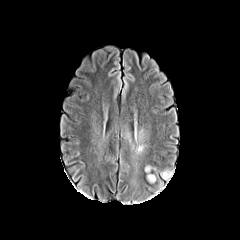
FLAIR magnetic resonance.
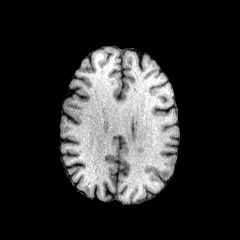
T1-weighted magnetic resonance.
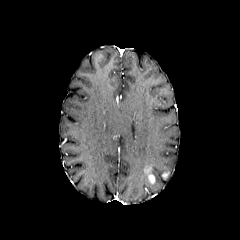
Post-contrast T1-weighted magnetic resonance of the same slice.
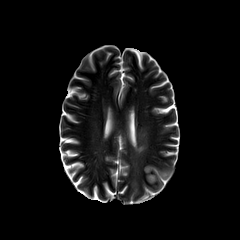
T2-weighted magnetic resonance of the same slice.
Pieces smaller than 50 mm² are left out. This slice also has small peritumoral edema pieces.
• enhancing tumor: left=145, top=167, right=155, bottom=183